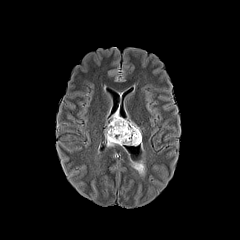
FLAIR MR image.
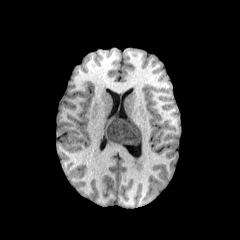
Same slice, T1-weighted MRI.
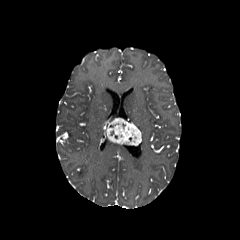
Post-contrast T1-weighted magnetic resonance.
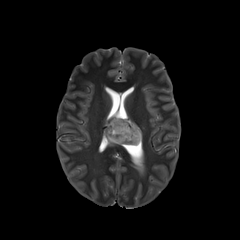
Same slice, T2-weighted MR.
Brain; Axial view
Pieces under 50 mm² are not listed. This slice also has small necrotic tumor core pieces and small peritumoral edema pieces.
The enhancing tumor appears at region(105, 117, 141, 145).